Axial plane; Head; Image width 240 mm, 1.00 mm slice spacing; Slice index 61
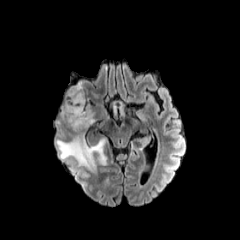
FLAIR magnetic resonance.
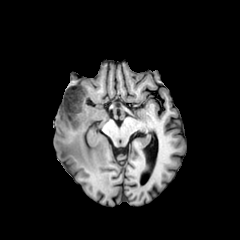
T1-weighted MR of the same slice.
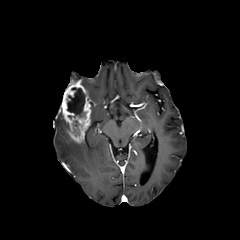
Post-contrast T1-weighted MR image.
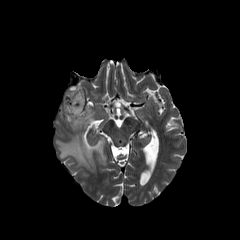
T2-weighted MRI.
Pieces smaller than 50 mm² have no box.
enhancing tumor — region(60, 82, 91, 143)
necrotic tumor core — region(67, 87, 85, 117)
peritumoral edema — region(56, 138, 106, 169)